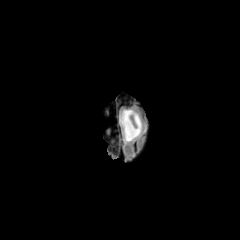
FLAIR MR.
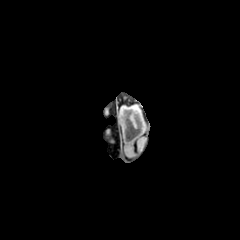
T1-weighted MRI.
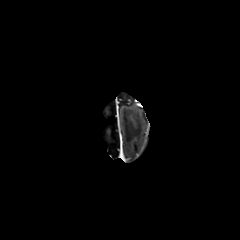
Post-contrast T1-weighted MRI.
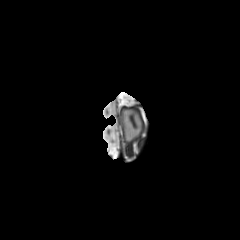
T2-weighted magnetic resonance.
240x240; Head
{
  "peritumoral_edema": [
    "(left=120, top=109, right=143, bottom=142)"
  ]
}